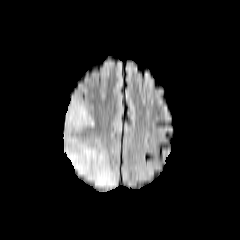
FLAIR magnetic resonance.
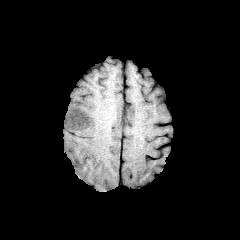
T1-weighted MR image of the same slice.
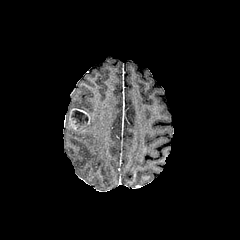
Post-contrast T1-weighted MRI of the same slice.
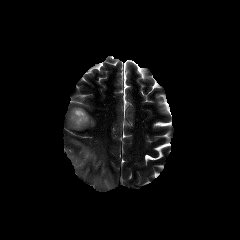
Same slice, T2-weighted MRI.
240x240; Axial plane; Head
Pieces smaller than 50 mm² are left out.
{
  "enhancing_tumor": [
    "bbox(68, 108, 91, 130)"
  ],
  "necrotic_tumor_core": [
    "bbox(71, 110, 88, 129)"
  ],
  "peritumoral_edema": [
    "bbox(66, 102, 87, 131)",
    "bbox(64, 139, 115, 188)"
  ]
}